FLAIR MR.
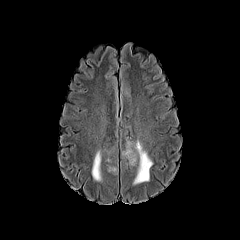
T1-weighted MRI.
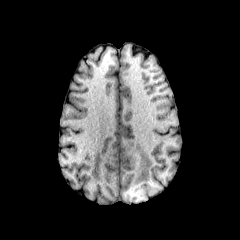
Post-contrast T1-weighted MRI.
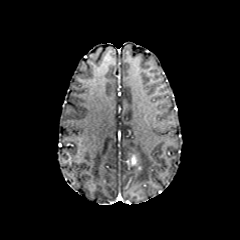
T2-weighted MR image.
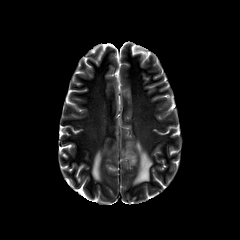
Brain
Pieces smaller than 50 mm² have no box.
<segmentation>
  <enhancing_tumor>bbox(127, 155, 136, 165)</enhancing_tumor>
  <peritumoral_edema>bbox(122, 140, 152, 184); bbox(92, 150, 101, 181)</peritumoral_edema>
</segmentation>